Head
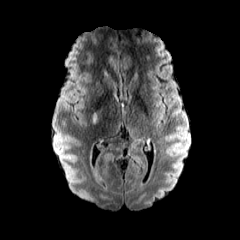
FLAIR MR image.
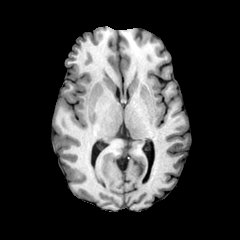
T1-weighted MR.
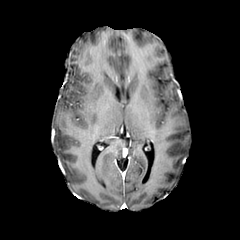
Same slice, post-contrast T1-weighted magnetic resonance.
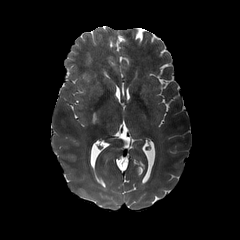
T2-weighted MR image.
Annotated regions:
* peritumoral edema: [x1=91, y1=112, x2=99, y2=123]